Head; Axial plane; 240x240; Slice 93/155
FLAIR MR.
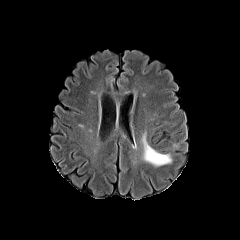
T1-weighted MR image.
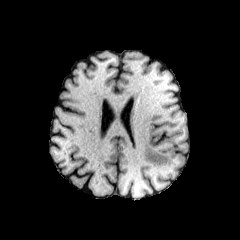
Post-contrast T1-weighted MRI.
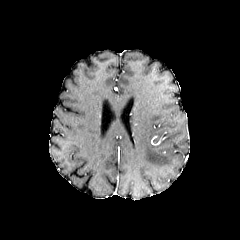
T2-weighted MR.
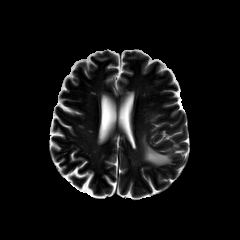
peritumoral edema: 140 130 172 167